FLAIR MR image.
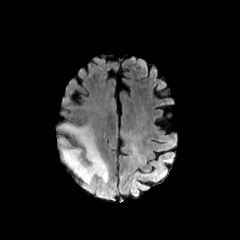
T1-weighted magnetic resonance.
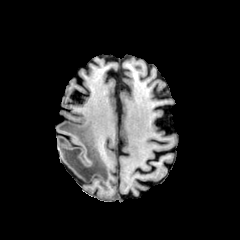
Post-contrast T1-weighted magnetic resonance.
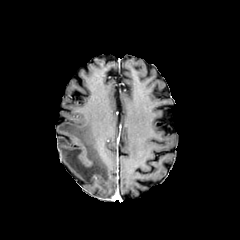
T2-weighted MR.
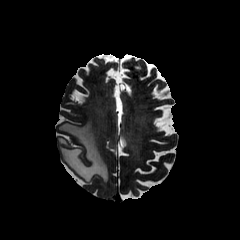
Head
peritumoral edema = box=[58, 122, 108, 184]